Head. Slice 53/155.
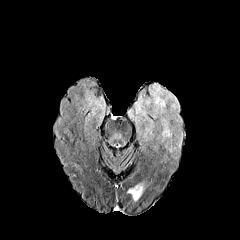
FLAIR MR.
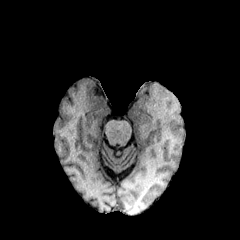
T1-weighted MR of the same slice.
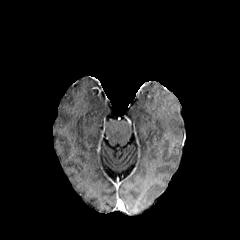
Same slice, post-contrast T1-weighted magnetic resonance.
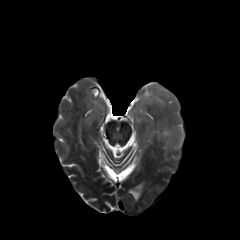
T2-weighted MR.
peritumoral edema — 128:185:142:200, 128:85:181:149